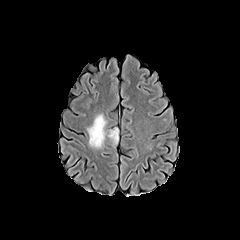
FLAIR MR image.
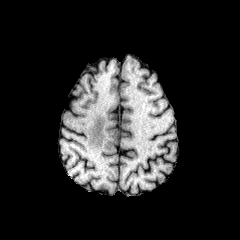
Same slice, T1-weighted MR image.
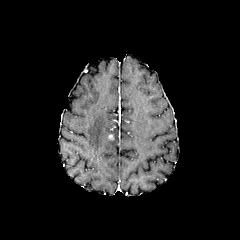
Post-contrast T1-weighted MRI of the same slice.
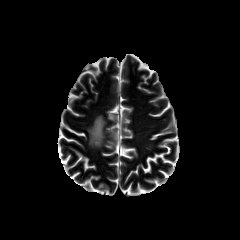
T2-weighted MR image of the same slice.
Axial view
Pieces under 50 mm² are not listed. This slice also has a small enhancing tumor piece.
Annotated regions:
* peritumoral edema: left=87, top=114, right=118, bottom=148